Axial slice | Image width 240 mm
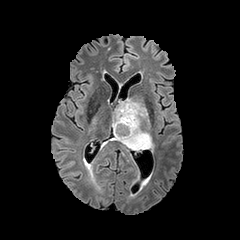
FLAIR MR.
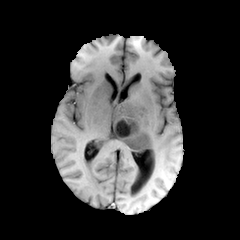
T1-weighted magnetic resonance of the same slice.
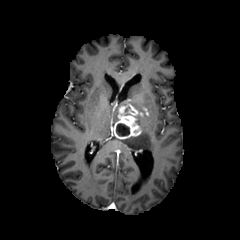
Post-contrast T1-weighted MRI.
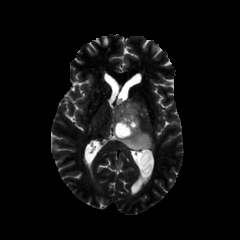
T2-weighted MRI.
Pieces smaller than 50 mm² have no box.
enhancing tumor = (114, 103, 142, 138)
peritumoral edema = (112, 96, 153, 149)
necrotic tumor core = (116, 123, 129, 136)